FLAIR MR.
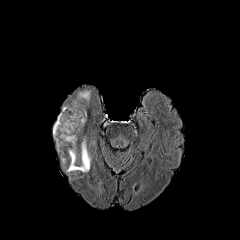
T1-weighted MR.
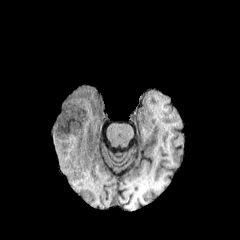
Post-contrast T1-weighted MR.
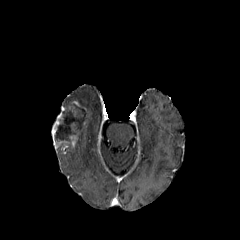
T2-weighted magnetic resonance.
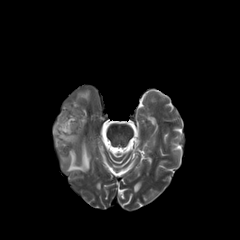
Head; 240x240 px
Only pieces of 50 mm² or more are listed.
enhancing tumor at rect(52, 106, 69, 149); rect(69, 135, 77, 147)
necrotic tumor core at rect(55, 103, 87, 143)
peritumoral edema at rect(76, 91, 89, 102); rect(67, 140, 90, 172)